Head | Slice index 61 | Axial view | 240x240 px
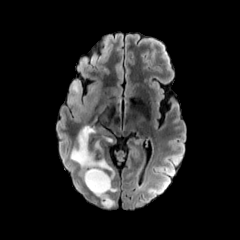
FLAIR MR image.
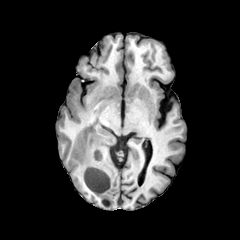
Same slice, T1-weighted MR.
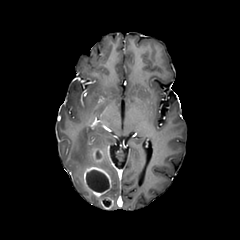
Post-contrast T1-weighted magnetic resonance.
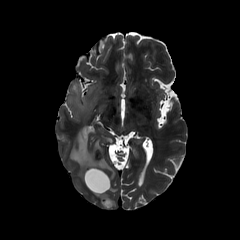
T2-weighted MR image.
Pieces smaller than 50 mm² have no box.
The largest peritumoral edema region is at bbox(68, 80, 114, 179). The 3 largest enhancing tumor regions are located at bbox(92, 149, 102, 162); bbox(100, 197, 113, 208); bbox(83, 166, 111, 198). The largest necrotic tumor core region is at bbox(86, 170, 109, 192).